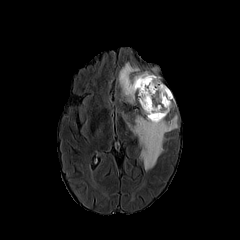
FLAIR MRI.
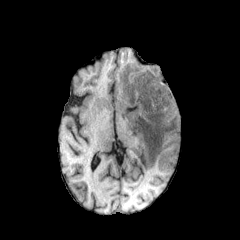
T1-weighted MRI of the same slice.
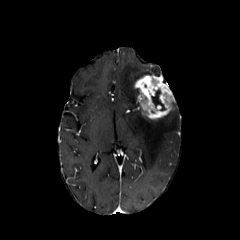
Post-contrast T1-weighted MRI of the same slice.
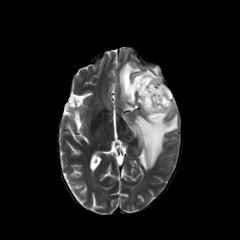
T2-weighted MRI.
Axial view. Head.
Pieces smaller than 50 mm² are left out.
necrotic tumor core = x1=151 y1=90 x2=165 y2=110
peritumoral edema = x1=124 y1=114 x2=178 y2=170, x1=118 y1=62 x2=152 y2=104
enhancing tumor = x1=134 y1=74 x2=174 y2=119